Image width 240 mm, 1.00 mm slice spacing | Slice 54 of 155
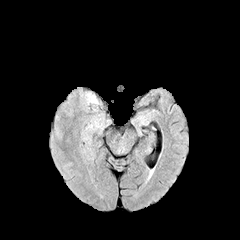
FLAIR MR image.
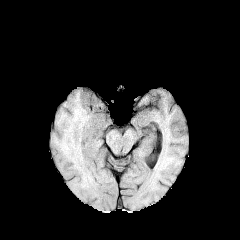
T1-weighted MRI.
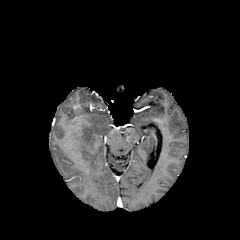
Post-contrast T1-weighted MR.
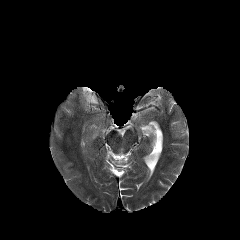
Same slice, T2-weighted magnetic resonance.
Segmented structures:
- peritumoral edema: 87,94,97,103